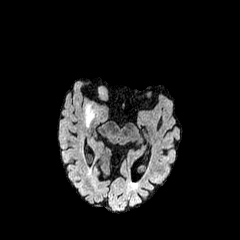
FLAIR MR image.
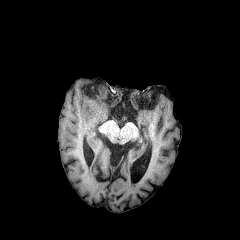
Same slice, T1-weighted magnetic resonance.
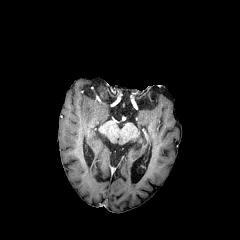
Post-contrast T1-weighted MR.
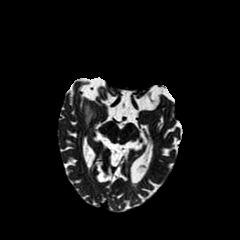
Same slice, T2-weighted magnetic resonance.
Axial plane, 240x240
The peritumoral edema appears at bbox=[86, 105, 93, 126].